Slice 84/155. 240x240.
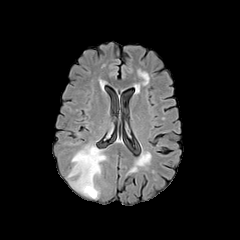
FLAIR magnetic resonance.
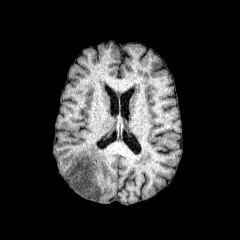
T1-weighted MR image.
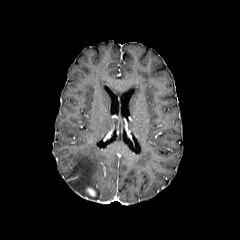
Post-contrast T1-weighted MRI.
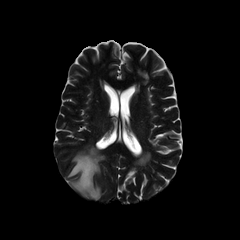
Same slice, T2-weighted MRI.
{"peritumoral_edema": ["l=67, t=144, r=106, b=198"], "enhancing_tumor": ["l=86, t=187, r=95, b=196"]}